FLAIR MR image.
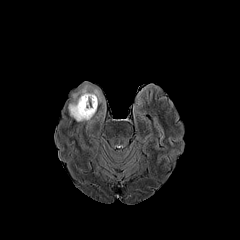
T1-weighted magnetic resonance.
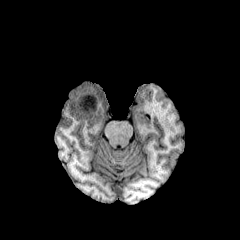
Post-contrast T1-weighted magnetic resonance.
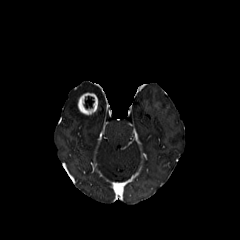
T2-weighted magnetic resonance.
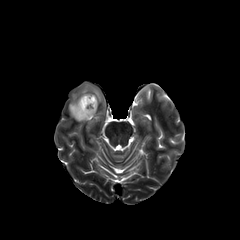
Image size 240x240
necrotic tumor core: (84,96,94,109) | peritumoral edema: (68,82,105,129) | enhancing tumor: (78,93,98,115)